FLAIR MR image.
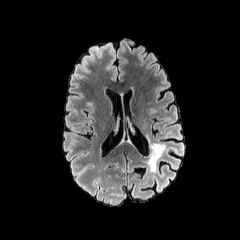
T1-weighted MR image.
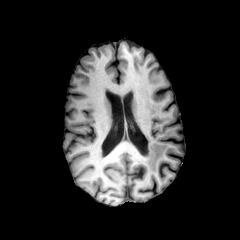
Post-contrast T1-weighted magnetic resonance.
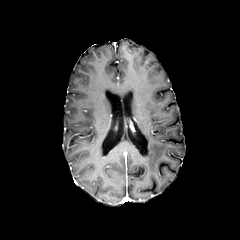
T2-weighted MRI.
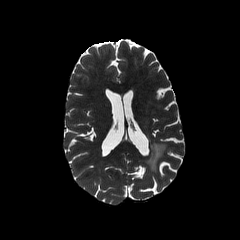
Head
peritumoral edema: 147,143,166,171